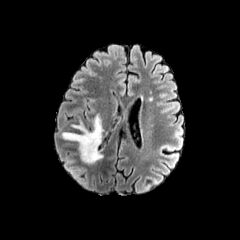
FLAIR magnetic resonance.
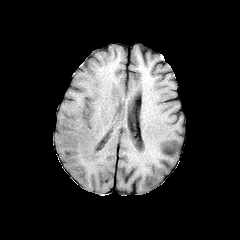
T1-weighted MR image.
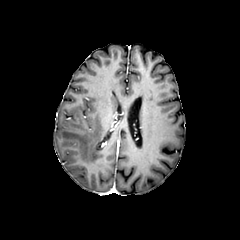
Post-contrast T1-weighted magnetic resonance.
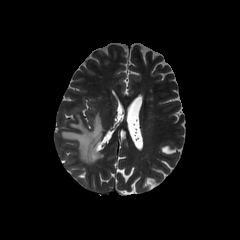
T2-weighted MRI.
peritumoral edema = (62, 115, 103, 163)